Axial plane | Brain
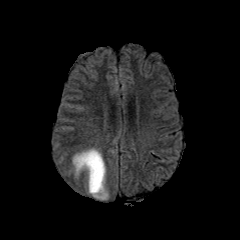
FLAIR MR image.
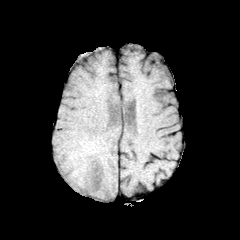
T1-weighted MR image.
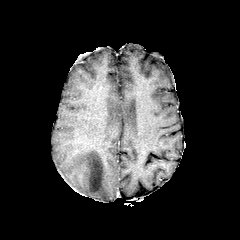
Post-contrast T1-weighted MR.
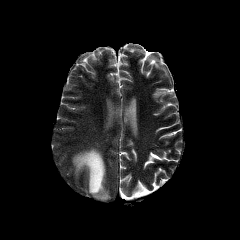
Same slice, T2-weighted MR.
peritumoral edema: l=73, t=148, r=108, b=199